Head
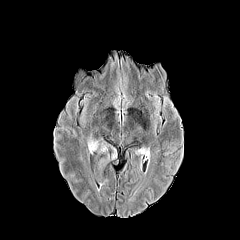
FLAIR MR.
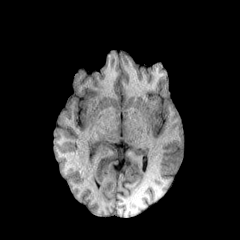
Same slice, T1-weighted MR.
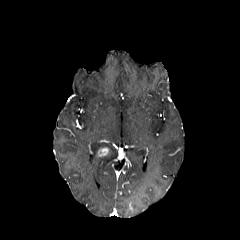
Post-contrast T1-weighted magnetic resonance.
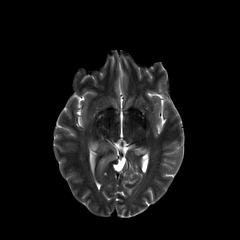
T2-weighted MRI.
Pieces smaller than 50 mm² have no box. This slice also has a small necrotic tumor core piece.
enhancing_tumor:
  - [98,147,108,155]
peritumoral_edema:
  - [88,138,116,183]